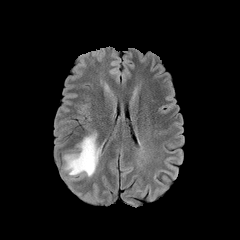
FLAIR MR.
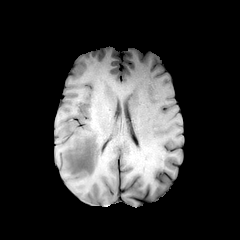
T1-weighted magnetic resonance.
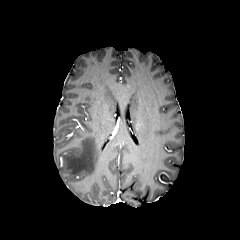
Same slice, post-contrast T1-weighted MRI.
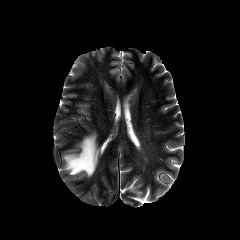
T2-weighted magnetic resonance of the same slice.
240x240 px. Axial slice. Head.
The peritumoral edema lies within (64,133,100,176).